FLAIR MR image.
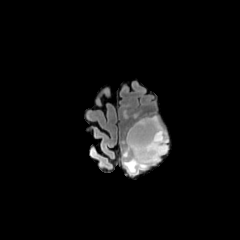
T1-weighted magnetic resonance.
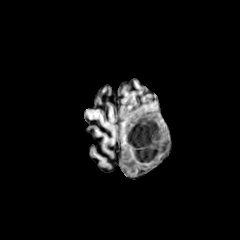
Post-contrast T1-weighted MRI.
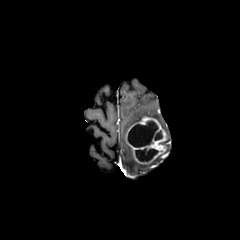
T2-weighted MR.
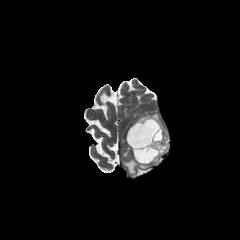
Axial view
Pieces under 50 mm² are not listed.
enhancing tumor = x1=126 y1=116 x2=167 y2=164
peritumoral edema = x1=122 y1=145 x2=160 y2=174
necrotic tumor core = x1=128 y1=121 x2=157 y2=147, x1=135 y1=148 x2=158 y2=161, x1=154 y1=131 x2=162 y2=140